FLAIR MRI.
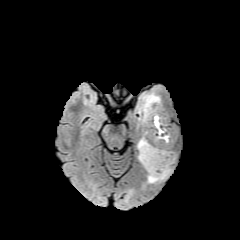
T1-weighted MRI.
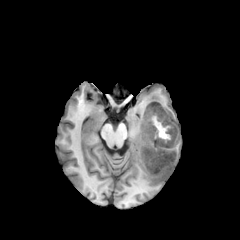
Post-contrast T1-weighted MR image.
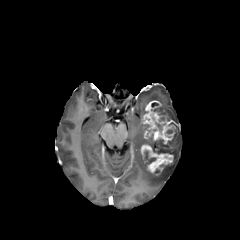
T2-weighted magnetic resonance.
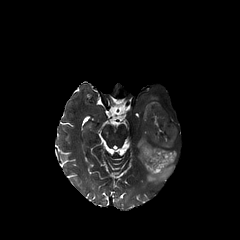
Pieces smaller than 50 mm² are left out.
<segmentation>
  <peritumoral_edema>(left=137, top=134, right=175, bottom=183), (left=140, top=94, right=160, bottom=113)</peritumoral_edema>
  <enhancing_tumor>(left=141, top=143, right=173, bottom=173), (left=142, top=101, right=175, bottom=148)</enhancing_tumor>
  <necrotic_tumor_core>(left=144, top=150, right=156, bottom=164), (left=146, top=134, right=172, bottom=154), (left=165, top=129, right=174, bottom=137), (left=151, top=102, right=168, bottom=134)</necrotic_tumor_core>
</segmentation>